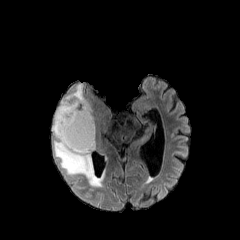
FLAIR MRI.
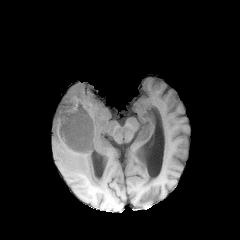
T1-weighted MRI.
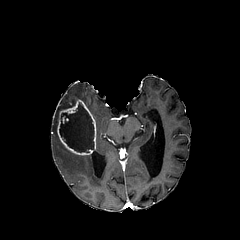
Same slice, post-contrast T1-weighted MR image.
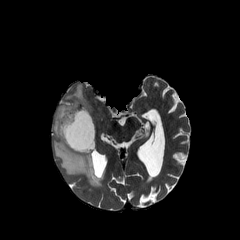
T2-weighted MRI.
Axial plane, Brain, Image size 240x240
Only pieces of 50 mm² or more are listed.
enhancing_tumor:
  - 57,99,96,155
peritumoral_edema:
  - 52,83,104,186
necrotic_tumor_core:
  - 59,102,94,152